FLAIR MR.
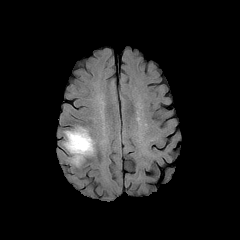
T1-weighted MR.
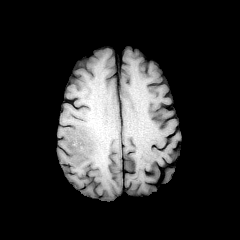
Post-contrast T1-weighted MR image.
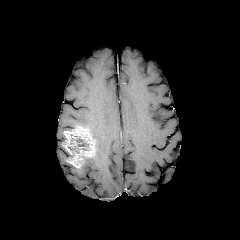
T2-weighted MR image.
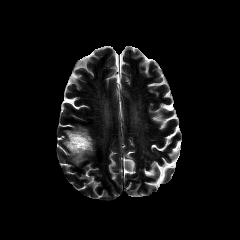
Head | Axial view
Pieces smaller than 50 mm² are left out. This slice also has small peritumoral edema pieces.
necrotic tumor core at 68,138,88,153
enhancing tumor at 63,126,95,167